FLAIR MRI.
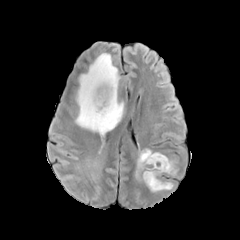
T1-weighted MR image.
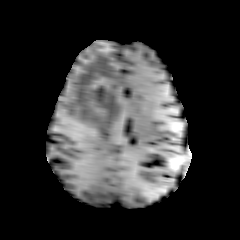
Post-contrast T1-weighted MRI.
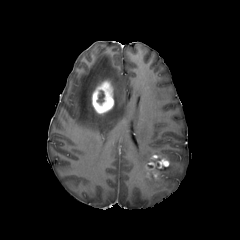
T2-weighted magnetic resonance.
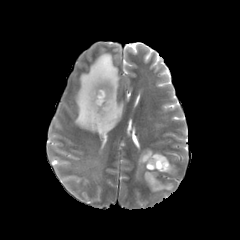
Head, Axial view
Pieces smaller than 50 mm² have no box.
peritumoral edema: bounding box <bbox>75, 53, 124, 134</bbox>, <bbox>137, 149, 178, 191</bbox>
enhancing tumor: bounding box <bbox>145, 161, 158, 178</bbox>, <bbox>151, 154, 169, 168</bbox>, <bbox>91, 80, 114, 114</bbox>
necrotic tumor core: bounding box <bbox>151, 158, 165, 171</bbox>